FLAIR MR.
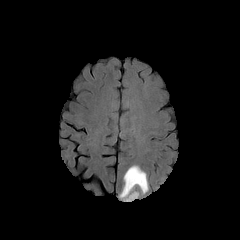
T1-weighted MR.
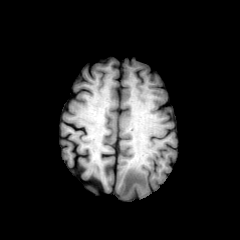
Post-contrast T1-weighted MR image.
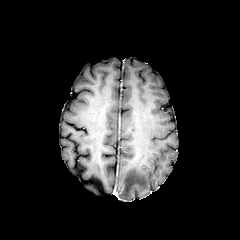
T2-weighted MR image.
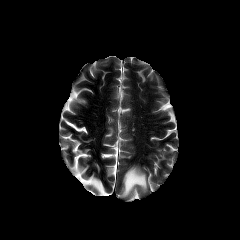
240x240 px
peritumoral edema: 120, 166, 148, 201